FLAIR MRI.
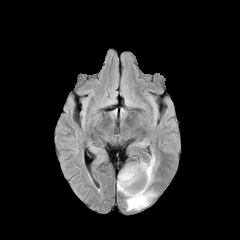
T1-weighted magnetic resonance.
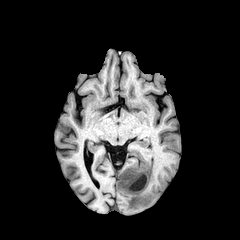
Post-contrast T1-weighted MR.
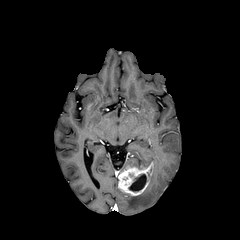
T2-weighted MR.
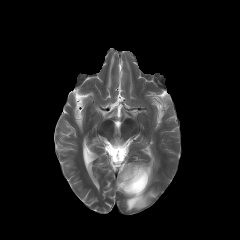
Head; Axial slice
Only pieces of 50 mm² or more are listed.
necrotic tumor core: (129,174,146,191)
enhancing tumor: (118,162,153,196)
peritumoral edema: (123,187,156,210), (140,155,156,186)